Image covers 240 mm x 240 mm; Axial view
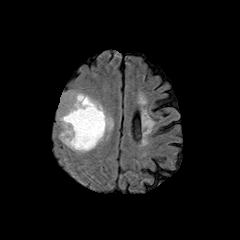
FLAIR MRI.
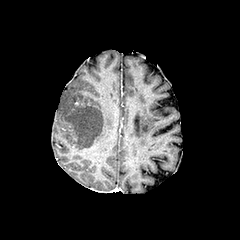
T1-weighted MRI of the same slice.
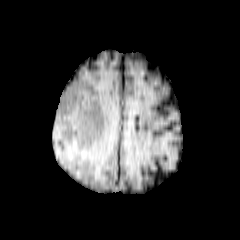
Same slice, post-contrast T1-weighted MR.
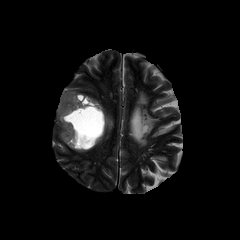
T2-weighted MR image.
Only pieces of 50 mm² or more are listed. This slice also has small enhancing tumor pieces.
The peritumoral edema is at 58,90,113,152. The necrotic tumor core is at 63,95,105,147.